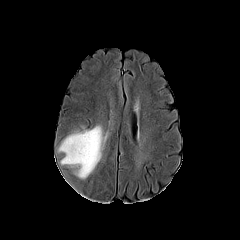
FLAIR MRI.
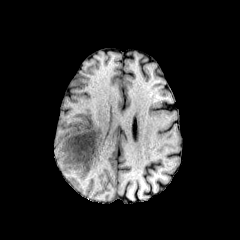
T1-weighted magnetic resonance of the same slice.
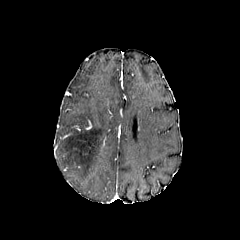
Post-contrast T1-weighted MRI.
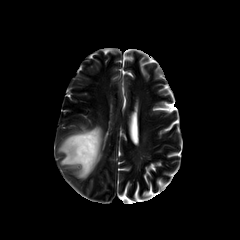
T2-weighted MRI of the same slice.
Brain | Axial slice
peritumoral edema at left=58, top=126, right=102, bottom=178